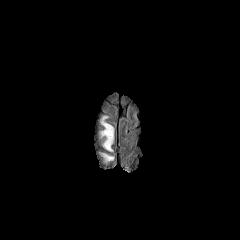
FLAIR MR.
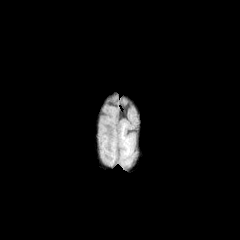
Same slice, T1-weighted MR.
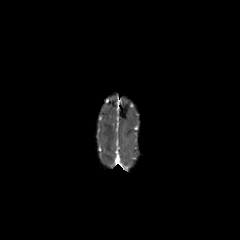
Same slice, post-contrast T1-weighted MRI.
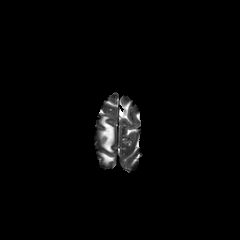
Same slice, T2-weighted MR image.
peritumoral_edema:
  - (x1=101, y1=116, x2=113, y2=151)
  - (x1=102, y1=154, x2=113, y2=161)